Slice 118/155 | Image size 240x240 | Brain
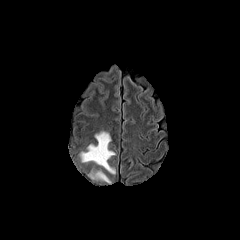
FLAIR MR.
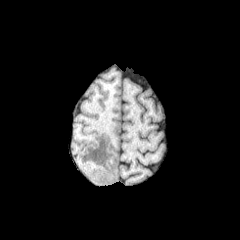
T1-weighted MR image of the same slice.
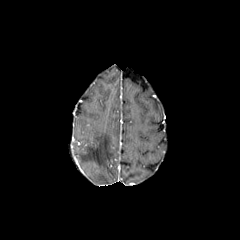
Post-contrast T1-weighted MR.
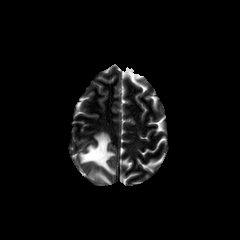
T2-weighted MR image.
2 peritumoral edema regions appear at <bbox>80, 131, 115, 174</bbox>, <bbox>89, 170, 110, 183</bbox>.